FLAIR MRI.
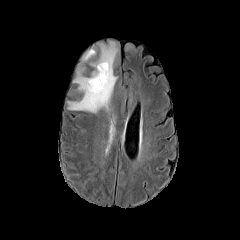
T1-weighted MRI.
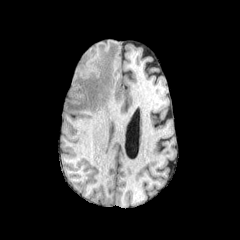
Post-contrast T1-weighted MR image.
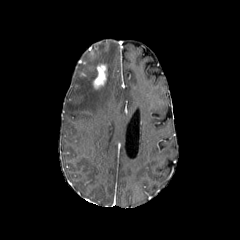
T2-weighted magnetic resonance.
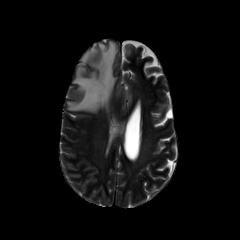
Image size 240x240 | Axial plane | Brain
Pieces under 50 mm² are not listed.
peritumoral_edema:
  - 82 48 96 61
  - 66 41 119 113
enhancing_tumor:
  - 93 64 106 88